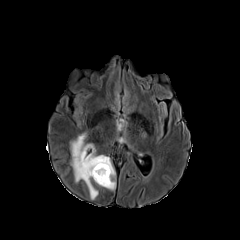
FLAIR magnetic resonance.
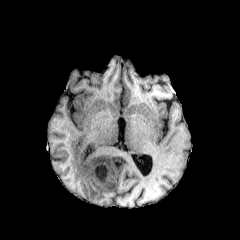
Same slice, T1-weighted MR image.
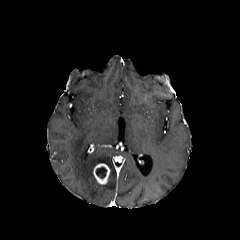
Post-contrast T1-weighted MRI.
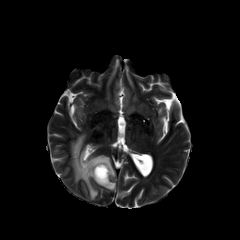
Same slice, T2-weighted MR image.
Annotated regions:
- necrotic tumor core: left=96, top=167, right=106, bottom=178
- enhancing tumor: left=93, top=163, right=110, bottom=184
- peritumoral edema: left=70, top=133, right=115, bottom=199